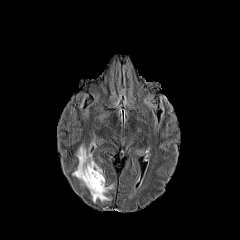
FLAIR MR image.
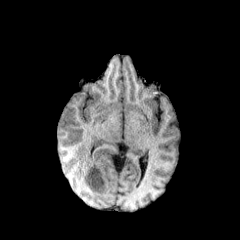
T1-weighted MR image.
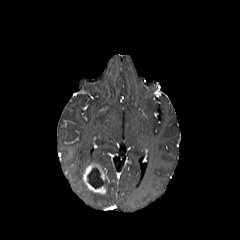
Same slice, post-contrast T1-weighted MR.
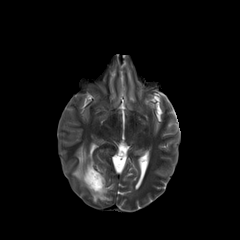
T2-weighted magnetic resonance.
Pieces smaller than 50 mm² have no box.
enhancing tumor — [x1=83, y1=162, x2=106, y2=194]
peritumoral edema — [x1=73, y1=145, x2=93, y2=184], [x1=90, y1=191, x2=110, y2=202]
necrotic tumor core — [x1=87, y1=168, x2=104, y2=188]